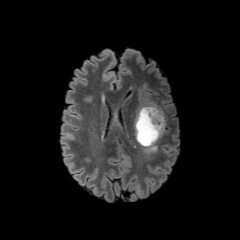
FLAIR MR image.
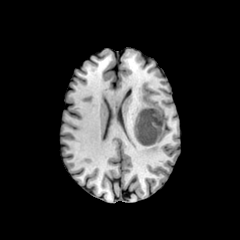
T1-weighted MRI of the same slice.
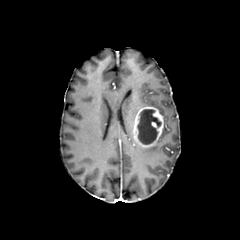
Post-contrast T1-weighted MR of the same slice.
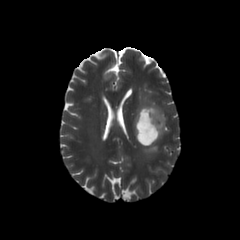
T2-weighted MR image.
enhancing tumor = (133,106,163,146)
peritumoral edema = (144,144,157,152), (138,89,165,138)
necrotic tumor core = (137,109,161,144)